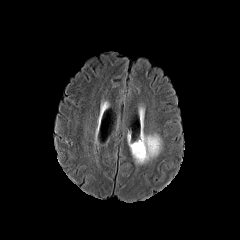
FLAIR MR.
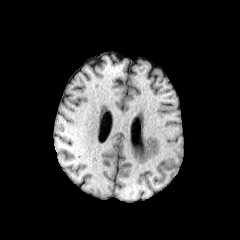
T1-weighted MRI of the same slice.
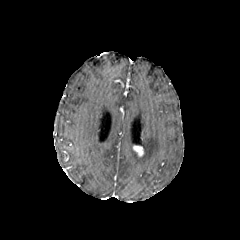
Same slice, post-contrast T1-weighted MR image.
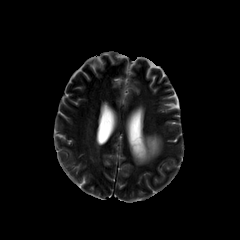
T2-weighted MR image of the same slice.
Axial slice
Segmented structures:
- enhancing tumor: {"x1": 133, "y1": 144, "x2": 143, "y2": 156}
- peritumoral edema: {"x1": 128, "y1": 132, "x2": 161, "y2": 164}